240x240, Head
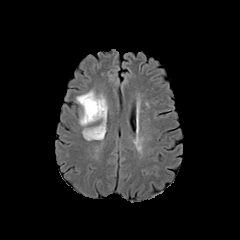
FLAIR MR image.
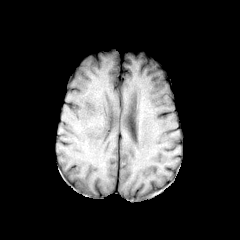
T1-weighted magnetic resonance.
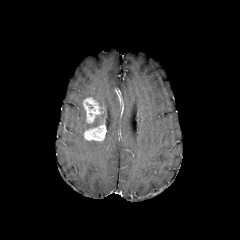
Post-contrast T1-weighted MRI of the same slice.
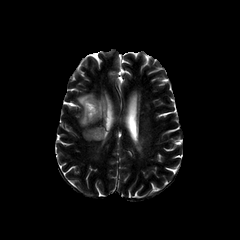
T2-weighted magnetic resonance.
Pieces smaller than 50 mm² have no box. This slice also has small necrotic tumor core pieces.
peritumoral_edema:
  - x1=76, y1=90, x2=107, y2=126
enhancing_tumor:
  - x1=84, y1=124, x2=106, y2=140
  - x1=82, y1=97, x2=104, y2=123